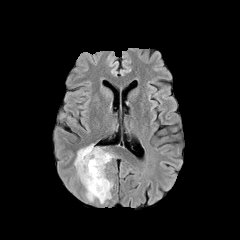
FLAIR MR image.
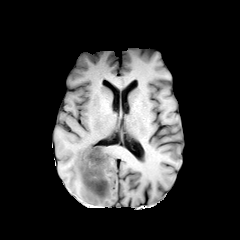
T1-weighted MR.
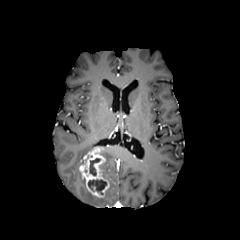
Same slice, post-contrast T1-weighted magnetic resonance.
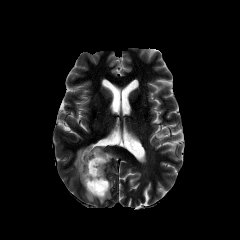
T2-weighted MRI.
Brain | Axial slice
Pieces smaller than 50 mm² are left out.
<segmentation>
  <peritumoral_edema>bbox(74, 144, 93, 188); bbox(102, 148, 114, 178); bbox(86, 180, 112, 203)</peritumoral_edema>
  <enhancing_tumor>bbox(79, 147, 109, 197)</enhancing_tumor>
  <necrotic_tumor_core>bbox(89, 158, 100, 175); bbox(88, 180, 106, 194)</necrotic_tumor_core>
</segmentation>